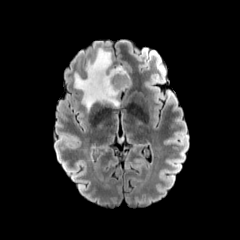
FLAIR MR.
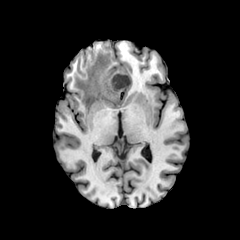
T1-weighted MR.
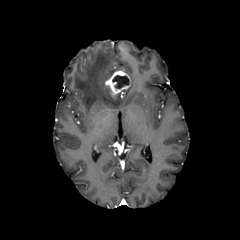
Post-contrast T1-weighted magnetic resonance.
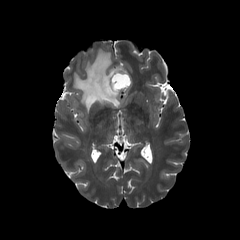
T2-weighted MRI.
Axial slice; Head
The enhancing tumor appears at <bbox>105, 69, 131, 96</bbox>. The peritumoral edema is located at <bbox>74, 48, 127, 110</bbox>. The necrotic tumor core is located at <bbox>112, 75, 129, 88</bbox>.